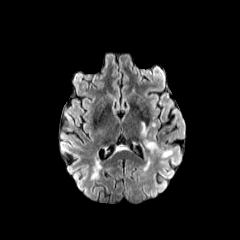
FLAIR MR.
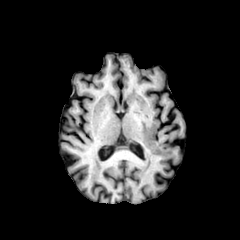
T1-weighted MR image.
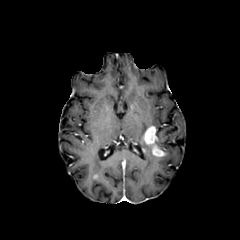
Post-contrast T1-weighted MRI of the same slice.
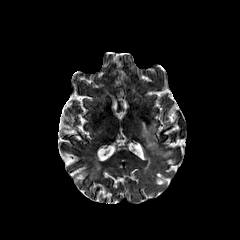
Same slice, T2-weighted MRI.
Image size 240x240
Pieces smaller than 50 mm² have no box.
peritumoral edema: [141,122,148,137], [162,150,173,157] | enhancing tumor: [143,126,166,156]